Brain | Slice index 48
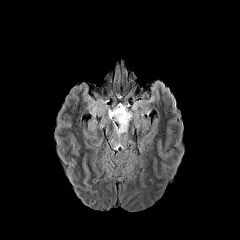
FLAIR MR.
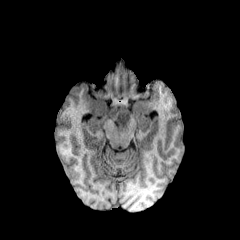
T1-weighted MR image.
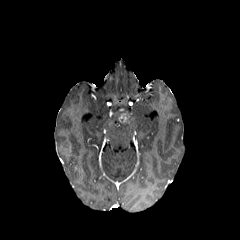
Same slice, post-contrast T1-weighted MRI.
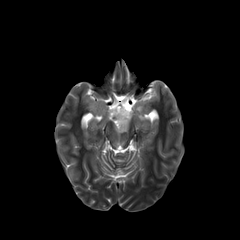
T2-weighted MR of the same slice.
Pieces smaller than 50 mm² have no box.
enhancing tumor at 118, 108, 130, 123
peritumoral edema at 107, 104, 133, 138; 88, 100, 106, 113